Slice 45 of 155, Axial view, Brain
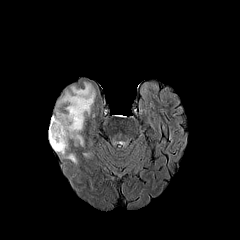
FLAIR MR image.
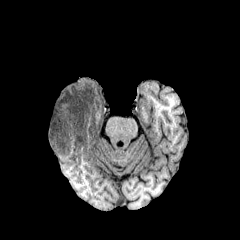
T1-weighted MRI.
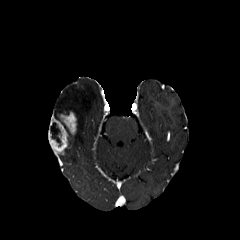
Post-contrast T1-weighted magnetic resonance.
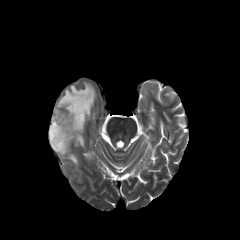
T2-weighted MR of the same slice.
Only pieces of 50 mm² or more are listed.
{"necrotic_tumor_core": ["(x1=50, y1=122, x2=61, y2=146)"], "enhancing_tumor": ["(x1=48, y1=111, x2=76, y2=155)"], "peritumoral_edema": ["(x1=61, y1=154, x2=77, y2=163)", "(x1=57, y1=82, x2=95, y2=145)"]}